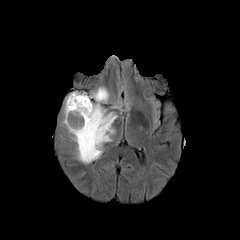
FLAIR MR.
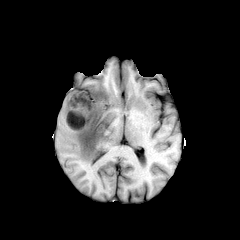
T1-weighted magnetic resonance.
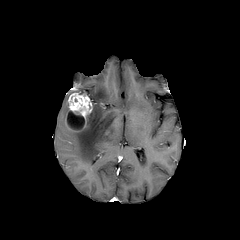
Post-contrast T1-weighted magnetic resonance.
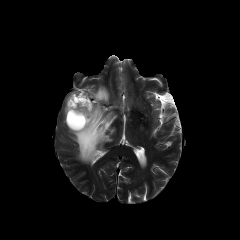
T2-weighted magnetic resonance of the same slice.
Brain
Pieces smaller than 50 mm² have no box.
peritumoral edema: bounding box bbox(64, 96, 68, 115); bbox(68, 86, 117, 163)
enhancing tumor: bounding box bbox(65, 92, 92, 131)
necrotic tumor core: bounding box bbox(67, 111, 84, 129)